Image covers 240 mm x 240 mm
FLAIR MR.
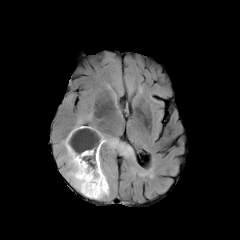
T1-weighted MRI.
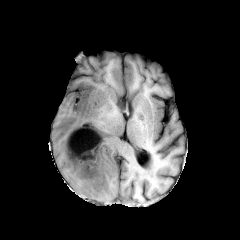
Post-contrast T1-weighted MR.
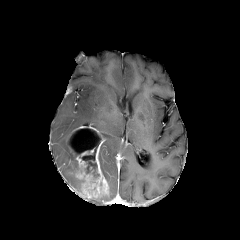
T2-weighted MR.
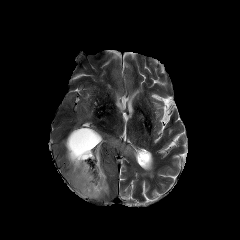
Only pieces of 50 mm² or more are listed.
enhancing tumor: (67, 125, 108, 198)
necrotic tumor core: (68, 128, 101, 177)
peritumoral edema: (99, 153, 106, 179), (62, 135, 80, 192), (74, 117, 82, 128), (103, 135, 130, 154)